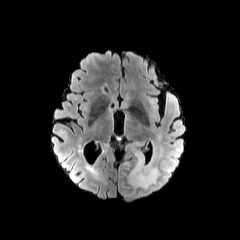
FLAIR MRI.
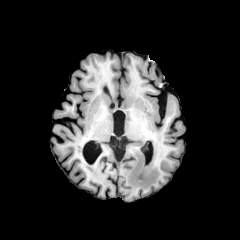
T1-weighted MR image.
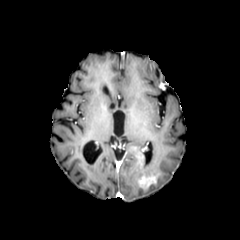
Post-contrast T1-weighted MR.
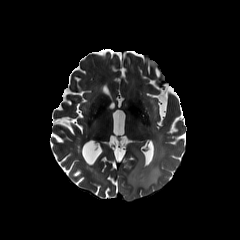
T2-weighted MR image.
Axial slice | Brain
The enhancing tumor is located at <bbox>131, 154, 158, 187</bbox>. 2 peritumoral edema regions are located at <bbox>127, 150, 161, 192</bbox>, <bbox>144, 145, 160, 177</bbox>.